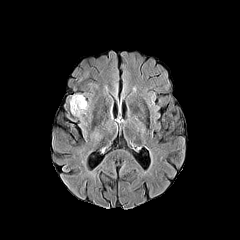
FLAIR MRI.
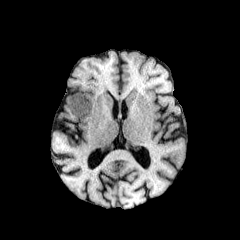
T1-weighted magnetic resonance.
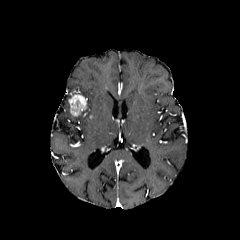
Post-contrast T1-weighted MRI.
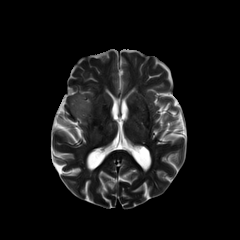
T2-weighted magnetic resonance of the same slice.
Axial plane, 240x240
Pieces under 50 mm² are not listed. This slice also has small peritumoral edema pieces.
enhancing tumor: bounding box region(69, 93, 87, 116)